Axial plane; Slice index 110; Image width 240 mm, 1.00 mm slice spacing
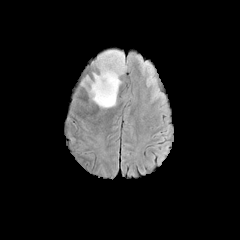
FLAIR MR.
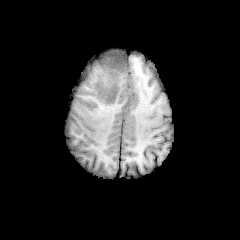
Same slice, T1-weighted MR.
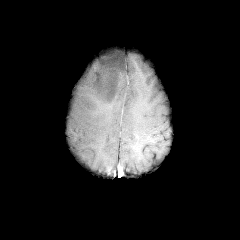
Same slice, post-contrast T1-weighted magnetic resonance.
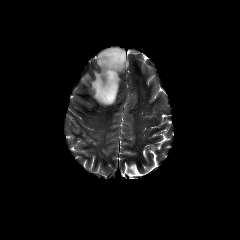
T2-weighted MR image of the same slice.
The peritumoral edema is located at <bbox>80, 50, 125, 109</bbox>.